Image width 240 mm; Brain; Axial plane
FLAIR MRI.
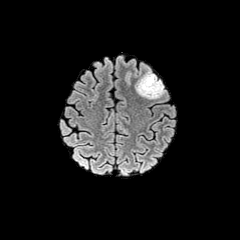
T1-weighted MR image.
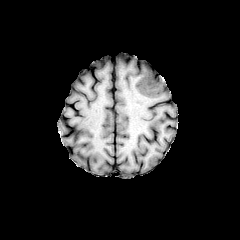
Post-contrast T1-weighted MR.
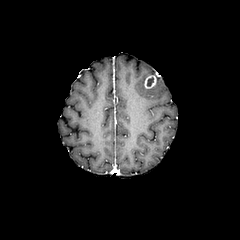
T2-weighted MR.
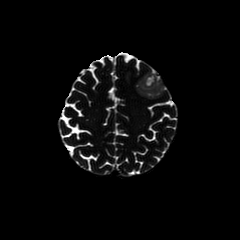
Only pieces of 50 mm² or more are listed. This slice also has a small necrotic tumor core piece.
peritumoral edema: x1=136, y1=70, x2=164, y2=99 | enhancing tumor: x1=144, y1=75, x2=156, y2=89